Axial slice, Slice 105/155
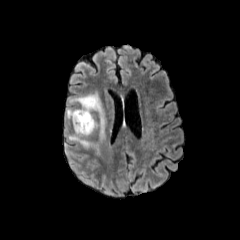
FLAIR MR.
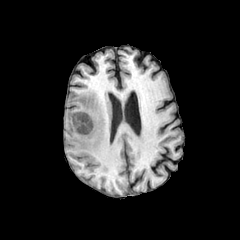
T1-weighted MR of the same slice.
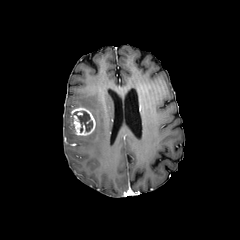
Post-contrast T1-weighted MRI of the same slice.
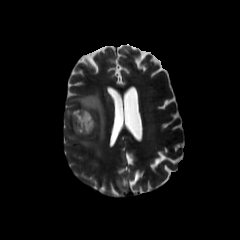
T2-weighted MR image.
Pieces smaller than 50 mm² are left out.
peritumoral_edema:
  - rect(69, 91, 107, 141)
  - rect(65, 132, 101, 157)
  - rect(66, 107, 74, 124)
necrotic_tumor_core:
  - rect(74, 111, 92, 132)
enhancing_tumor:
  - rect(71, 107, 95, 136)